Image covers 240 mm x 240 mm | Brain
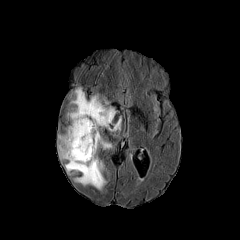
FLAIR magnetic resonance.
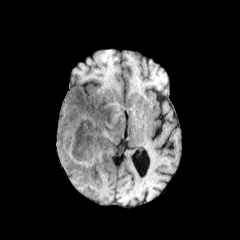
T1-weighted MR image.
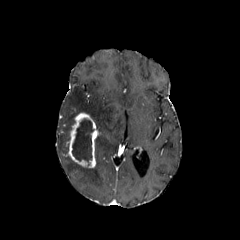
Post-contrast T1-weighted MRI.
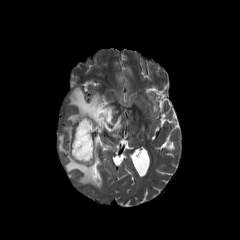
T2-weighted magnetic resonance of the same slice.
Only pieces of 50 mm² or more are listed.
* necrotic tumor core: box=[72, 119, 93, 162]
* peritumoral edema: box=[58, 88, 120, 189]
* enhancing tumor: box=[66, 112, 98, 167]